Image covers 240 mm x 240 mm. Slice 61/155.
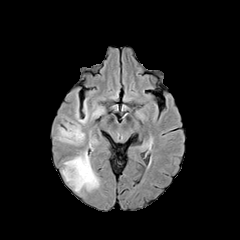
FLAIR MR image.
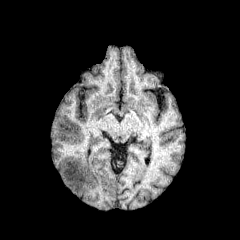
T1-weighted MRI.
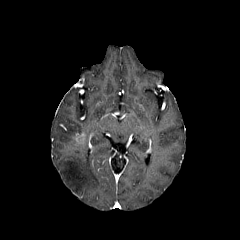
Post-contrast T1-weighted magnetic resonance.
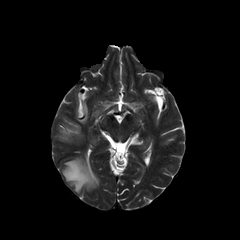
T2-weighted MR of the same slice.
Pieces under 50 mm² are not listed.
The enhancing tumor lies within <bbox>73, 133, 85, 144</bbox>. The 3 largest peritumoral edema regions appear at <bbox>58, 123, 82, 144</bbox>, <bbox>62, 151, 99, 192</bbox>, <bbox>78, 101, 88, 123</bbox>.